FLAIR magnetic resonance.
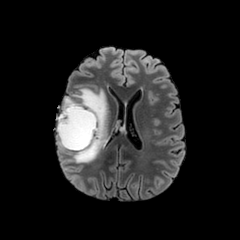
T1-weighted MR image.
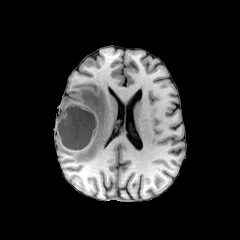
Post-contrast T1-weighted MR.
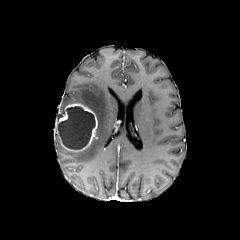
T2-weighted MRI.
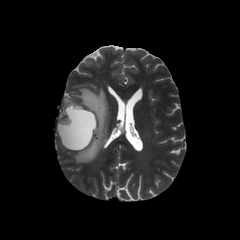
Axial view, Head
<segmentation>
  <enhancing_tumor>56 103 97 151</enhancing_tumor>
  <necrotic_tumor_core>58 106 95 149</necrotic_tumor_core>
  <peritumoral_edema>57 88 107 162</peritumoral_edema>
</segmentation>